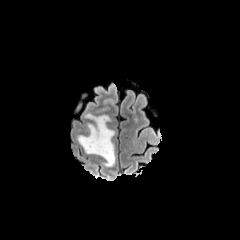
FLAIR MR.
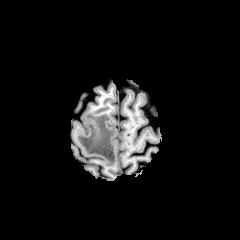
T1-weighted MR.
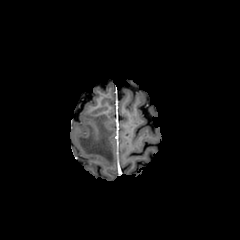
Post-contrast T1-weighted MR image.
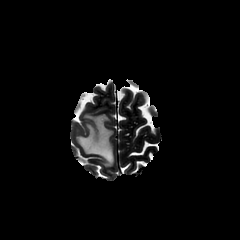
T2-weighted MR image.
{
  "peritumoral_edema": [
    "bbox=[77, 113, 115, 166]"
  ]
}